Image size 240x240; Axial view; Head
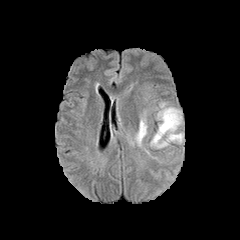
FLAIR magnetic resonance.
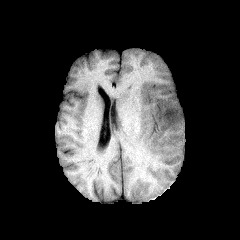
T1-weighted MRI.
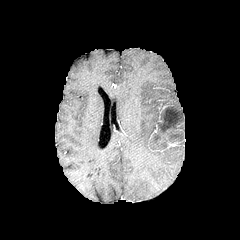
Post-contrast T1-weighted magnetic resonance.
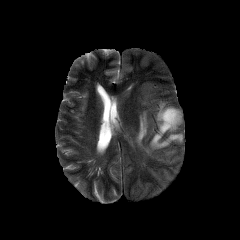
T2-weighted magnetic resonance of the same slice.
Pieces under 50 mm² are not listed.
peritumoral edema: <bbox>135, 112, 147, 146</bbox>, <bbox>150, 102, 183, 148</bbox>